Head; 240x240 px
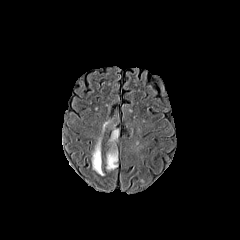
FLAIR MRI.
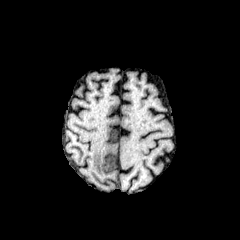
Same slice, T1-weighted MRI.
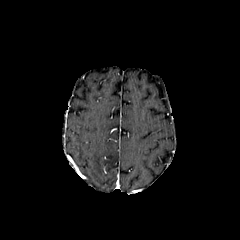
Post-contrast T1-weighted magnetic resonance of the same slice.
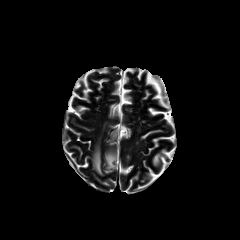
T2-weighted MR.
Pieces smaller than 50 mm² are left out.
The 3 largest peritumoral edema regions appear at l=112, t=130, r=118, b=139; l=92, t=137, r=103, b=175; l=106, t=141, r=117, b=170.